Image size 240x240
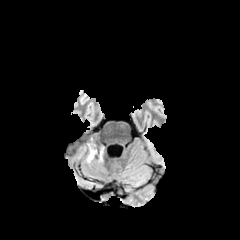
FLAIR MR image.
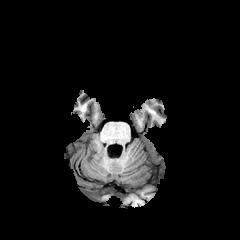
Same slice, T1-weighted magnetic resonance.
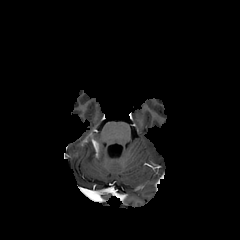
Same slice, post-contrast T1-weighted MRI.
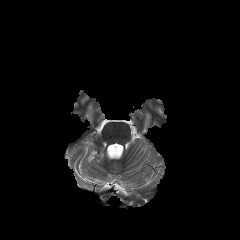
Same slice, T2-weighted MRI.
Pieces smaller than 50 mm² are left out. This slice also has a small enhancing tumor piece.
peritumoral edema — 86, 136, 104, 163